Axial slice
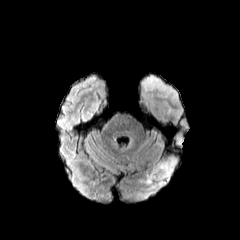
FLAIR magnetic resonance.
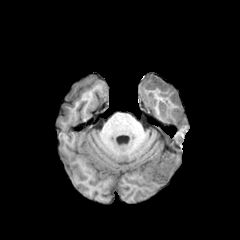
T1-weighted MR of the same slice.
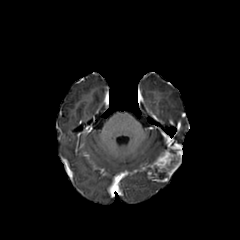
Post-contrast T1-weighted MRI of the same slice.
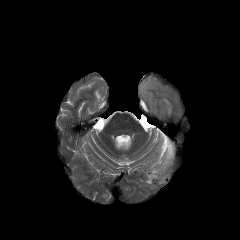
T2-weighted MR.
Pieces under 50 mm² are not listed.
necrotic tumor core — x1=151 y1=166 x2=166 y2=179
enhancing tumor — x1=147 y1=151 x2=178 y2=182
peritumoral edema — x1=140 y1=168 x2=166 y2=190